Head
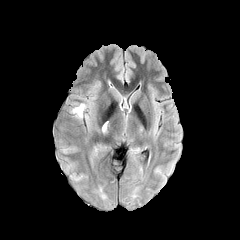
FLAIR MR.
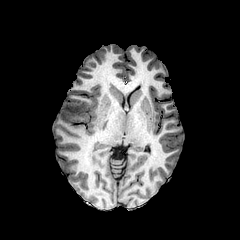
T1-weighted MR.
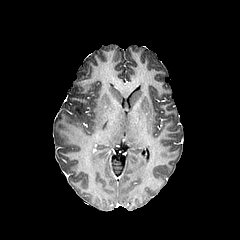
Post-contrast T1-weighted MR.
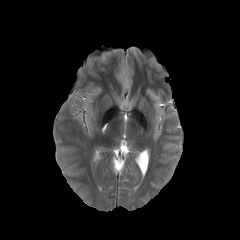
T2-weighted magnetic resonance.
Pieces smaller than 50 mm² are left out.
peritumoral edema: bounding box 73,104,85,118